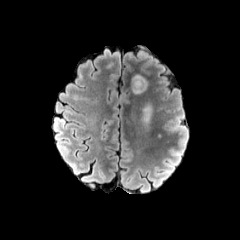
FLAIR MR.
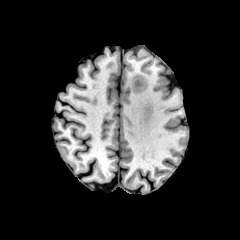
T1-weighted MR image of the same slice.
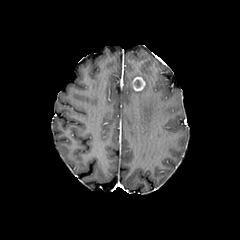
Post-contrast T1-weighted magnetic resonance.
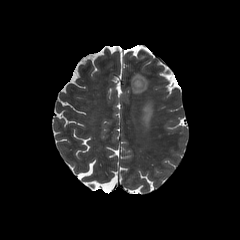
T2-weighted MRI of the same slice.
240x240 px, Brain, Axial slice
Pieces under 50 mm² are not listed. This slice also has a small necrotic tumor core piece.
Segmented structures:
• peritumoral edema: (132,74,147,93), (142,103,152,125)
• enhancing tumor: (132,77,145,90)